Axial slice. Head. Slice 80/155.
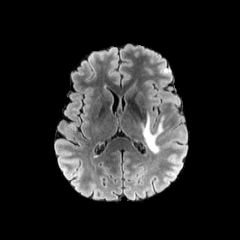
FLAIR MR image.
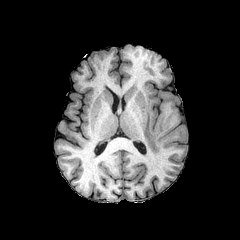
T1-weighted MRI.
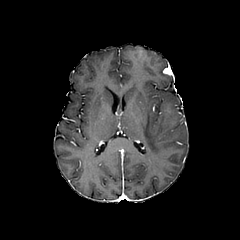
Same slice, post-contrast T1-weighted magnetic resonance.
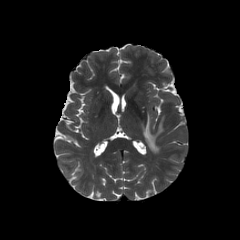
T2-weighted MR.
The peritumoral edema lies within region(140, 111, 164, 153).